FLAIR MR.
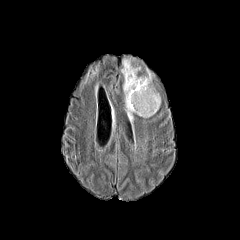
T1-weighted MR.
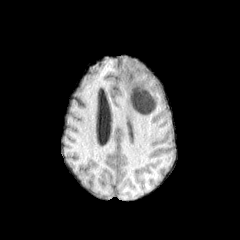
Post-contrast T1-weighted MR image.
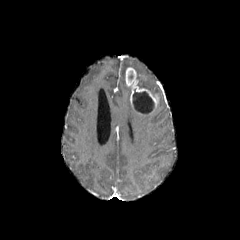
T2-weighted magnetic resonance.
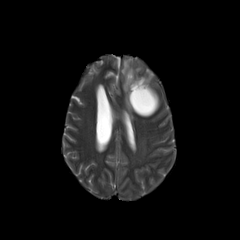
Image size 240x240
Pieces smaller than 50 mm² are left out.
The largest necrotic tumor core region appears at <bbox>133, 89, 154, 114</bbox>. The 3 largest peritumoral edema regions are bounded by <bbox>123, 81, 134, 120</bbox>, <bbox>121, 59, 131, 76</bbox>, <bbox>137, 77, 155, 95</bbox>. The enhancing tumor is bounded by <bbox>125, 67, 158, 115</bbox>.